Head. Image width 240 mm, 1.00 mm slice spacing.
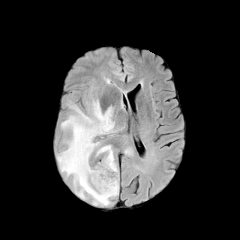
FLAIR MR image.
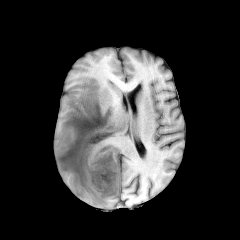
T1-weighted magnetic resonance.
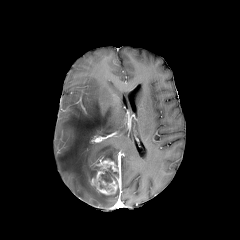
Post-contrast T1-weighted MRI.
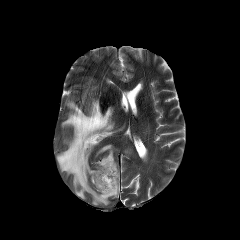
T2-weighted MRI of the same slice.
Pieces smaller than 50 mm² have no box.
peritumoral edema: [57,99,118,205] | necrotic tumor core: [101,167,117,182] | enhancing tumor: [91,159,120,194]